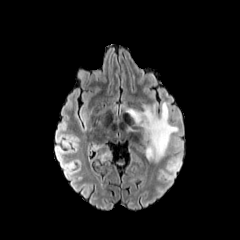
FLAIR MR image.
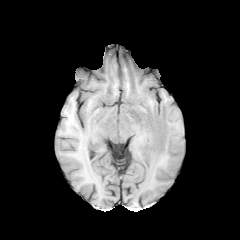
T1-weighted MR image of the same slice.
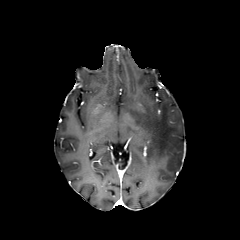
Post-contrast T1-weighted MR image.
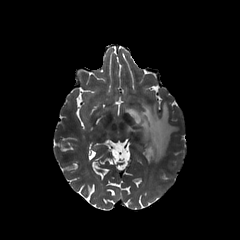
T2-weighted MR image of the same slice.
peritumoral edema at <box>126,101,178,163</box>